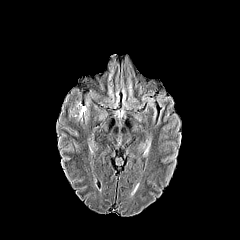
FLAIR magnetic resonance.
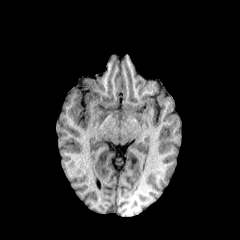
Same slice, T1-weighted magnetic resonance.
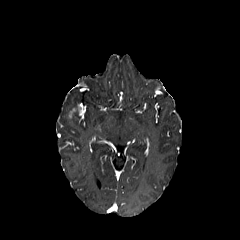
Same slice, post-contrast T1-weighted MR image.
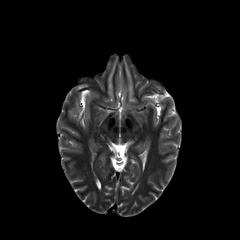
T2-weighted MR image.
Axial plane
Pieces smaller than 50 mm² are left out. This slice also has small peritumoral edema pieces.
enhancing tumor = 69:104:85:117